Slice 50 of 155 | Head
FLAIR magnetic resonance.
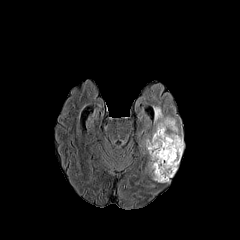
T1-weighted MRI.
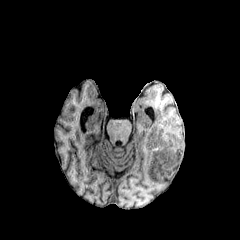
Post-contrast T1-weighted MR.
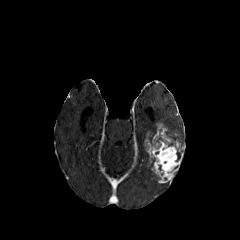
T2-weighted MR.
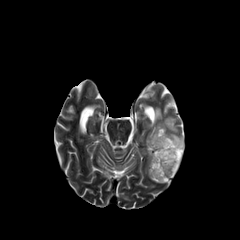
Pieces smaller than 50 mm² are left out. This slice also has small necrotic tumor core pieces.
enhancing tumor: 144,123,184,182 | peritumoral edema: 148,159,158,181; 149,107,184,146